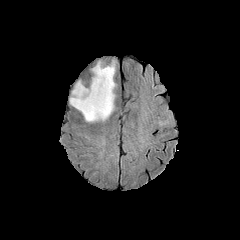
FLAIR MR image.
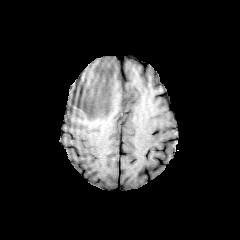
T1-weighted MRI.
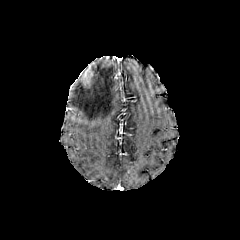
Post-contrast T1-weighted MR image of the same slice.
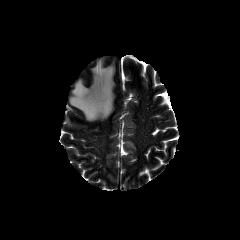
Same slice, T2-weighted MRI.
Brain
peritumoral edema = [69,60,115,121]